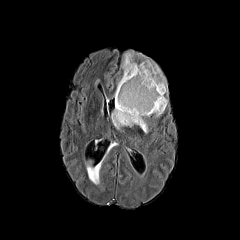
FLAIR magnetic resonance.
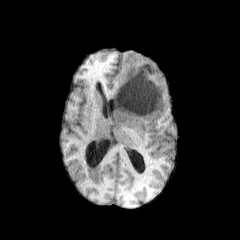
T1-weighted MRI of the same slice.
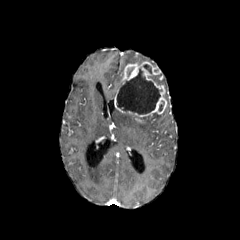
Post-contrast T1-weighted MR.
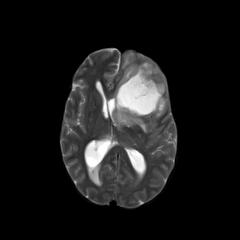
T2-weighted magnetic resonance of the same slice.
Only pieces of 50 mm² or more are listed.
enhancing_tumor:
  - region(114, 61, 166, 122)
peritumoral_edema:
  - region(154, 77, 166, 90)
  - region(111, 109, 147, 132)
  - region(122, 53, 134, 69)
  - region(87, 164, 100, 184)
necrotic_tumor_core:
  - region(143, 64, 151, 73)
  - region(117, 68, 162, 114)